Axial view
FLAIR MR image.
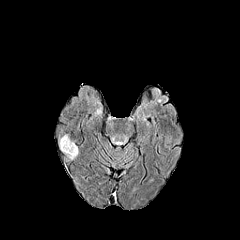
T1-weighted MRI.
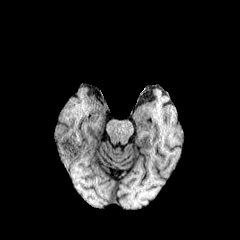
Post-contrast T1-weighted MR image.
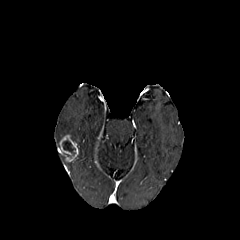
T2-weighted magnetic resonance.
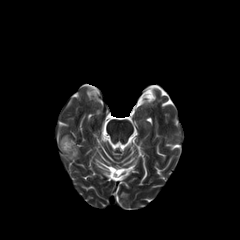
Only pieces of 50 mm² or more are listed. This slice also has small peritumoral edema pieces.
{
  "enhancing_tumor": [
    "left=59, top=135, right=78, bottom=161"
  ],
  "necrotic_tumor_core": [
    "left=62, top=140, right=75, bottom=154"
  ]
}